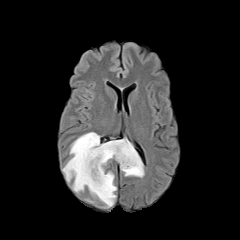
FLAIR MR.
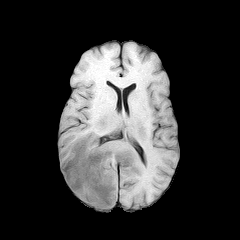
T1-weighted magnetic resonance.
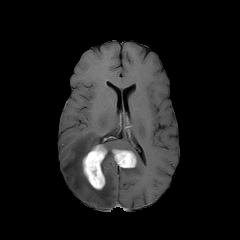
Post-contrast T1-weighted magnetic resonance.
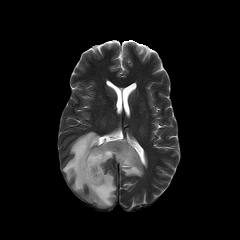
T2-weighted MR image.
Head; Axial plane
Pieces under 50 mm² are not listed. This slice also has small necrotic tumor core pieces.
enhancing tumor = (left=112, top=149, right=136, bottom=168), (left=82, top=144, right=107, bottom=189)
peritumoral edema = (left=62, top=132, right=144, bottom=207)